FLAIR MRI.
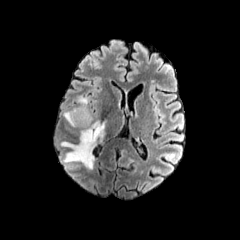
T1-weighted magnetic resonance.
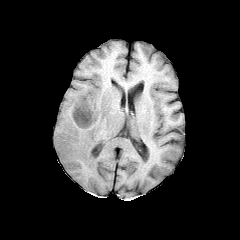
Post-contrast T1-weighted magnetic resonance.
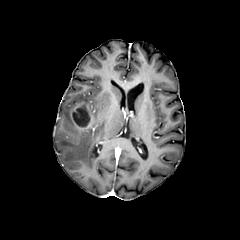
T2-weighted MR image.
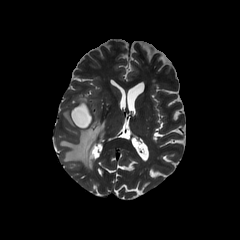
Head. 240x240.
necrotic_tumor_core:
  - x1=72 y1=106 x2=89 y2=127
peritumoral_edema:
  - x1=64 y1=110 x2=76 y2=127
  - x1=60 y1=120 x2=106 y2=169
  - x1=78 y1=96 x2=87 y2=104
enhancing_tumor:
  - x1=71 y1=101 x2=95 y2=130